FLAIR MRI.
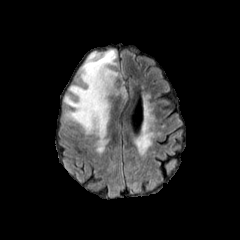
T1-weighted magnetic resonance.
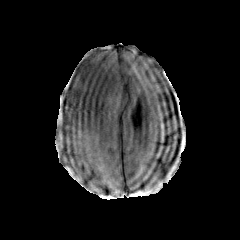
Post-contrast T1-weighted MR image.
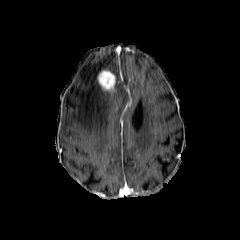
T2-weighted MRI.
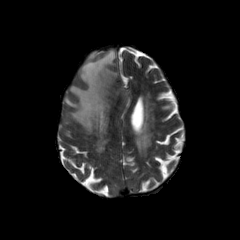
Axial slice | Brain
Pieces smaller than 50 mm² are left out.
<segmentation>
  <enhancing_tumor>bbox(97, 69, 115, 92)</enhancing_tumor>
  <peritumoral_edema>bbox(63, 49, 128, 134)</peritumoral_edema>
</segmentation>